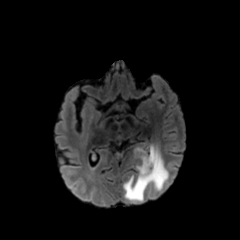
FLAIR MR image.
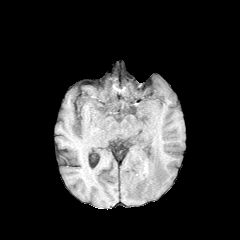
T1-weighted MR.
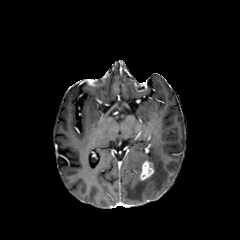
Post-contrast T1-weighted MRI.
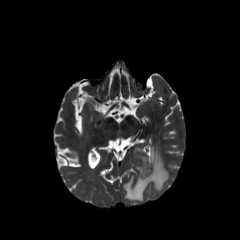
Same slice, T2-weighted magnetic resonance.
peritumoral edema: bounding box box(123, 146, 168, 201)
enhancing tumor: bounding box box(139, 160, 153, 180)